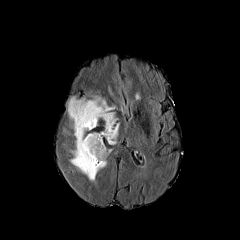
FLAIR MRI.
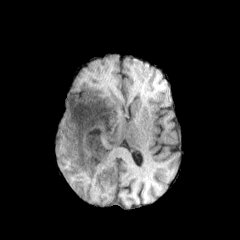
T1-weighted MR.
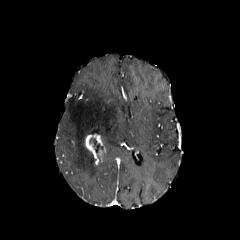
Post-contrast T1-weighted MRI.
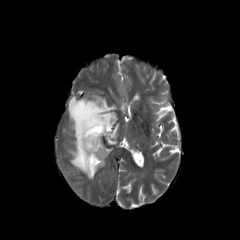
T2-weighted magnetic resonance.
240x240 px; Axial view
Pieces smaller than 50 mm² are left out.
peritumoral_edema:
  - [68, 95, 119, 181]
enhancing_tumor:
  - [85, 133, 106, 164]
necrotic_tumor_core:
  - [89, 138, 103, 152]